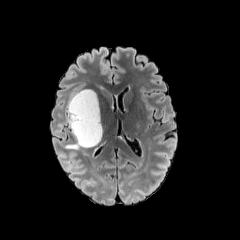
FLAIR MR image.
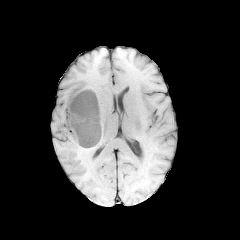
T1-weighted magnetic resonance of the same slice.
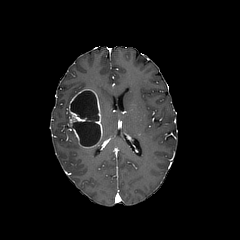
Post-contrast T1-weighted MR of the same slice.
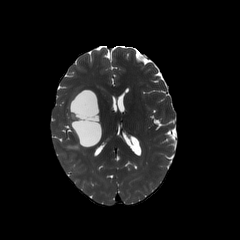
T2-weighted MR.
Axial slice.
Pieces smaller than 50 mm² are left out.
• peritumoral edema: [65, 130, 82, 149]
• enhancing tumor: [68, 89, 102, 148]
• necrotic tumor core: [71, 91, 100, 146]